FLAIR MR image.
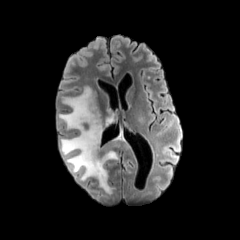
T1-weighted MRI.
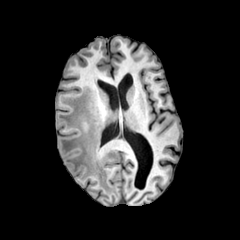
Post-contrast T1-weighted magnetic resonance.
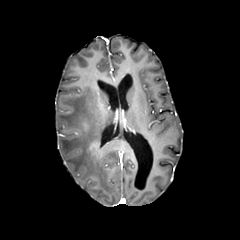
T2-weighted MR image.
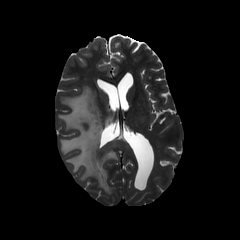
Brain
peritumoral edema: (x1=58, y1=86, x2=129, y2=194) | enhancing tumor: (x1=89, y1=142, x2=97, y2=150)